FLAIR MRI.
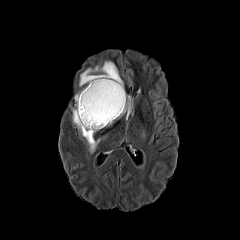
T1-weighted magnetic resonance.
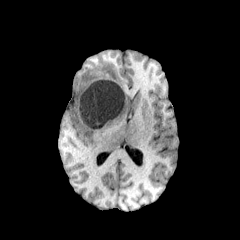
Post-contrast T1-weighted MRI.
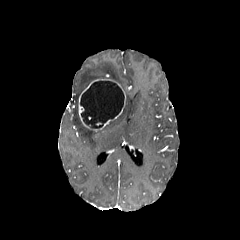
T2-weighted MR image.
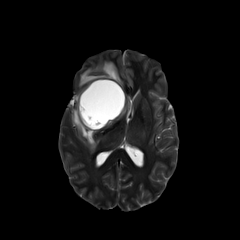
Axial plane
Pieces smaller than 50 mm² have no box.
enhancing tumor: 78:78:125:131 | peritumoral edema: 117:95:133:118, 73:89:99:152, 79:61:123:88 | necrotic tumor core: 80:80:124:128